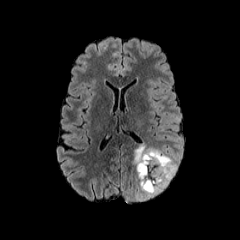
FLAIR magnetic resonance.
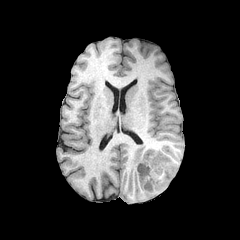
Same slice, T1-weighted MR.
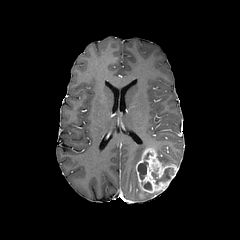
Post-contrast T1-weighted MR.
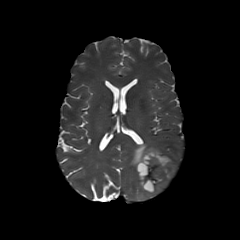
T2-weighted MR of the same slice.
Head; Axial view
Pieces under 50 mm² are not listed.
The peritumoral edema is located at bbox=[132, 143, 177, 200]. The largest enhancing tumor region is at bbox=[136, 148, 177, 193]. The 3 largest necrotic tumor core regions appear at bbox=[143, 181, 152, 190]; bbox=[151, 167, 173, 184]; bbox=[138, 152, 152, 179].